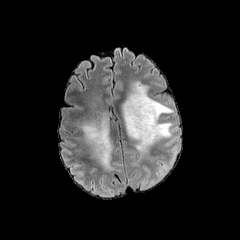
FLAIR MRI.
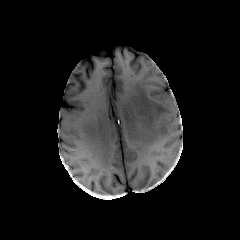
T1-weighted MR.
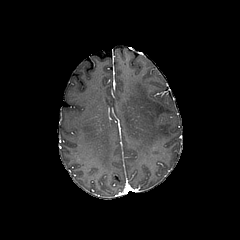
Same slice, post-contrast T1-weighted magnetic resonance.
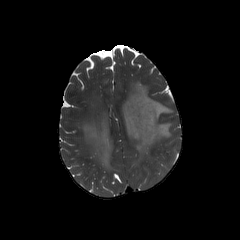
T2-weighted magnetic resonance.
peritumoral_edema:
  - <box>122,81,173,157</box>
  - <box>80,114,112,170</box>